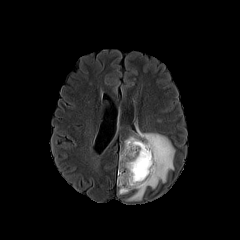
FLAIR MR.
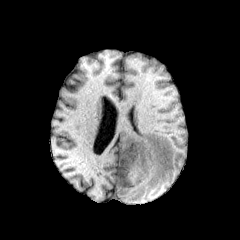
T1-weighted MRI of the same slice.
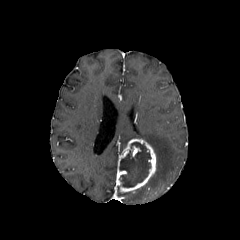
Post-contrast T1-weighted MRI.
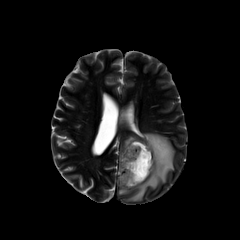
T2-weighted MR image.
Brain. Axial view.
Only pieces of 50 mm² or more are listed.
enhancing tumor = x1=116, y1=138, x2=156, y2=192
necrotic tumor core = x1=119, y1=142, x2=151, y2=187
peritumoral edema = x1=120, y1=128, x2=175, y2=200